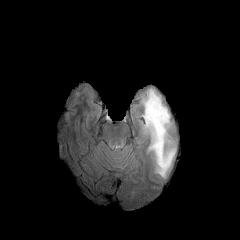
FLAIR MR.
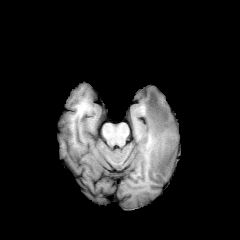
T1-weighted MR of the same slice.
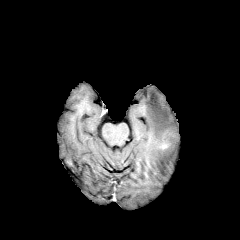
Post-contrast T1-weighted magnetic resonance of the same slice.
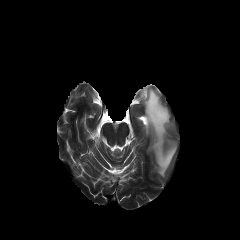
Same slice, T2-weighted magnetic resonance.
Brain
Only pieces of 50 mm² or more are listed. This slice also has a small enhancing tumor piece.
peritumoral edema = <box>141,88,176,177</box>